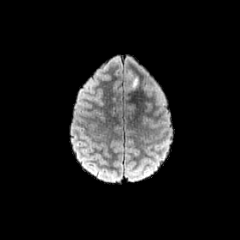
FLAIR MR image.
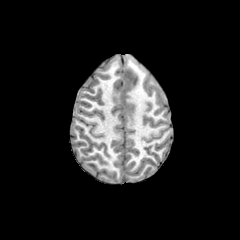
T1-weighted MRI.
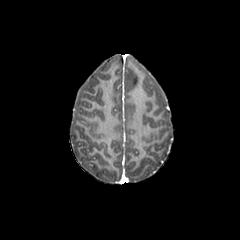
Post-contrast T1-weighted MR of the same slice.
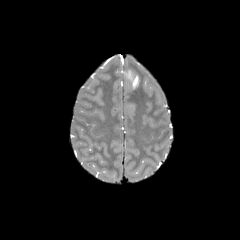
T2-weighted MR image.
Brain, Axial slice
peritumoral edema: box=[126, 71, 137, 87]